Axial slice, Image width 240 mm, 240x240 px
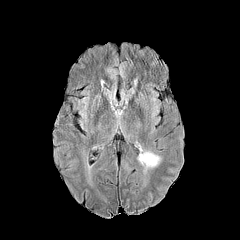
FLAIR MR.
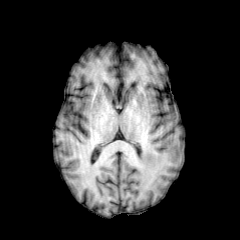
T1-weighted MR of the same slice.
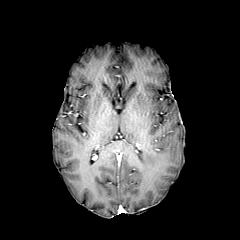
Post-contrast T1-weighted magnetic resonance.
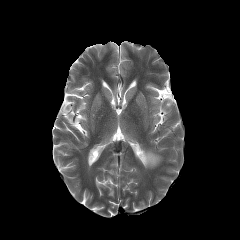
T2-weighted MRI.
* peritumoral edema: bbox=[139, 152, 159, 166]